Slice 69/155
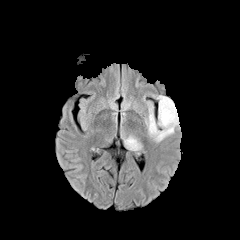
FLAIR MRI.
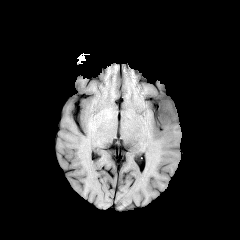
Same slice, T1-weighted MRI.
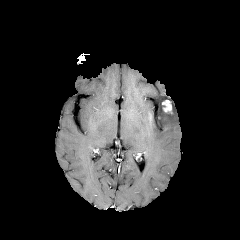
Same slice, post-contrast T1-weighted MR image.
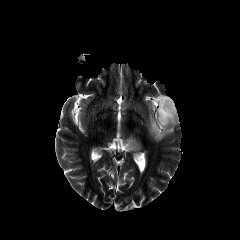
T2-weighted magnetic resonance of the same slice.
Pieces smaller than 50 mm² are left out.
Segmented structures:
• peritumoral edema: (145, 95, 179, 141), (123, 135, 141, 151)
• enhancing tumor: (162, 100, 172, 113)